Slice 81 of 155; 240x240 px; Axial slice
FLAIR MR.
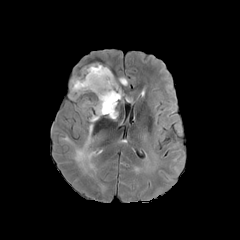
T1-weighted MR.
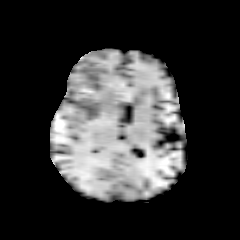
Post-contrast T1-weighted MR.
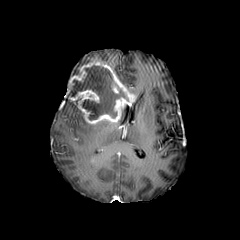
T2-weighted MR.
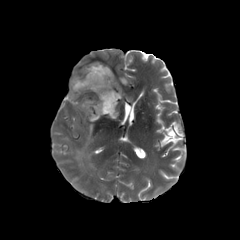
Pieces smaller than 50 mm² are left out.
necrotic tumor core — (x1=68, y1=66, x2=125, y2=119)
enhancing tumor — (x1=67, y1=61, x2=134, y2=124)
peritumoral edema — (x1=74, y1=124, x2=95, y2=171)